240x240, Head
FLAIR MR.
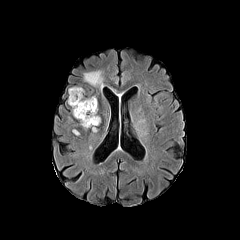
T1-weighted MRI.
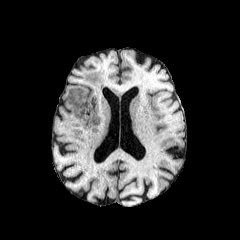
Post-contrast T1-weighted MR image.
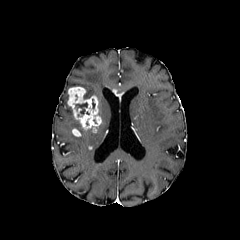
T2-weighted MRI.
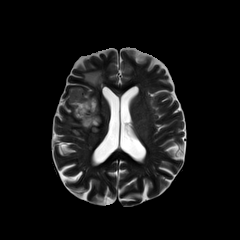
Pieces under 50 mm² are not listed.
The peritumoral edema appears at region(84, 71, 103, 89). The largest necrotic tumor core region is at region(75, 103, 87, 114). The 2 largest enhancing tumor regions are located at region(112, 90, 123, 101); region(67, 86, 101, 132).